FLAIR magnetic resonance.
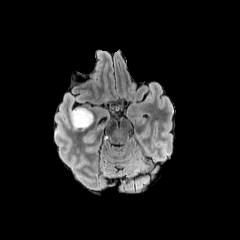
T1-weighted MR.
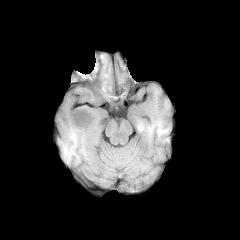
Post-contrast T1-weighted magnetic resonance.
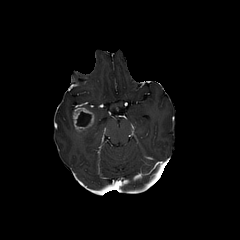
T2-weighted MRI.
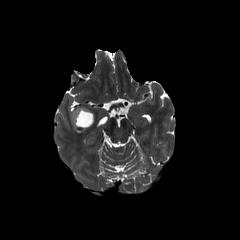
Image size 240x240
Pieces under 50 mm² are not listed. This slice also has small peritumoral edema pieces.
necrotic_tumor_core:
  - [76, 111, 91, 126]
enhancing_tumor:
  - [72, 106, 94, 132]